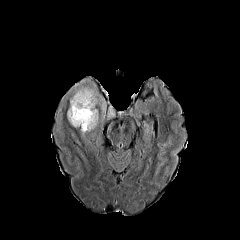
FLAIR MR image.
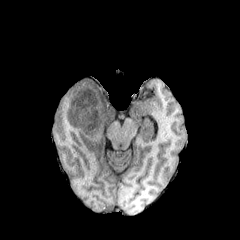
T1-weighted MRI.
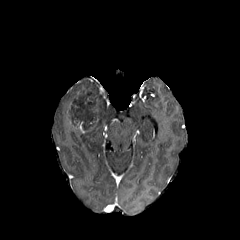
Post-contrast T1-weighted MRI.
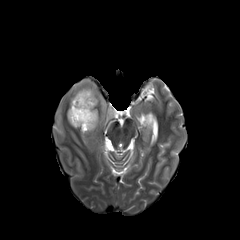
T2-weighted MRI.
Head
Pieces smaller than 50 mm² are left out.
necrotic_tumor_core:
  - 70,92,96,130
enhancing_tumor:
  - 73,121,92,133
peritumoral_edema:
  - 67,79,106,125
  - 106,106,114,120